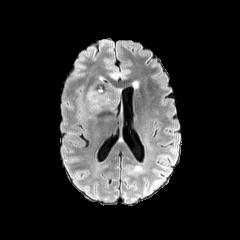
FLAIR MR.
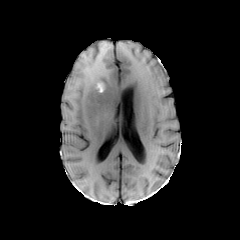
T1-weighted MR.
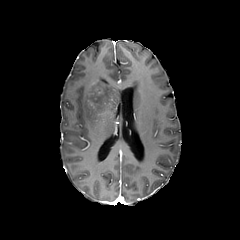
Post-contrast T1-weighted MRI.
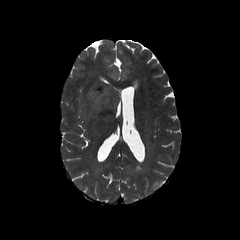
T2-weighted MR image.
Head.
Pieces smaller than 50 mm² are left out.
Segmented structures:
* peritumoral edema: rect(83, 76, 119, 117)